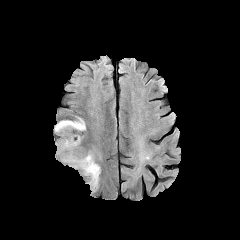
FLAIR MR image.
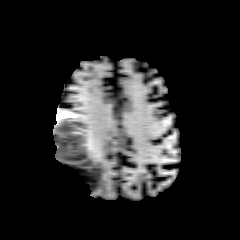
Same slice, T1-weighted magnetic resonance.
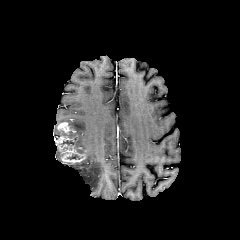
Post-contrast T1-weighted MR of the same slice.
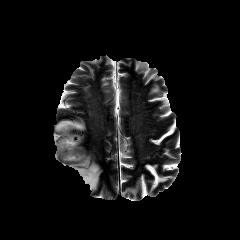
Same slice, T2-weighted magnetic resonance.
Axial slice | Brain
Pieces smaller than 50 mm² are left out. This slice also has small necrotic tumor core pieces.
Findings:
* peritumoral edema: 54 117 85 136, 65 152 100 191
* enhancing tumor: 54 122 86 163